Axial plane, Head
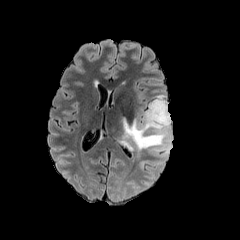
FLAIR magnetic resonance.
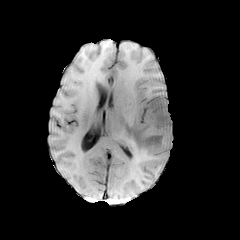
T1-weighted magnetic resonance of the same slice.
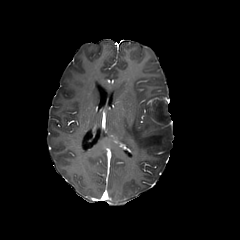
Post-contrast T1-weighted MR image of the same slice.
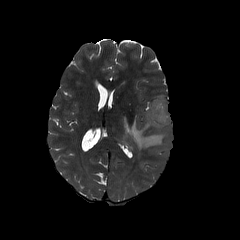
T2-weighted MR.
{
  "peritumoral_edema": [
    "139, 161, 150, 169",
    "118, 94, 172, 166"
  ]
}